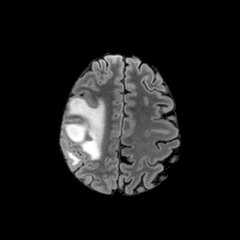
FLAIR magnetic resonance.
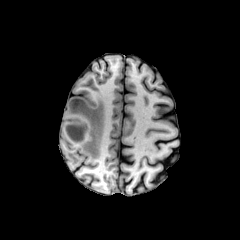
T1-weighted MRI.
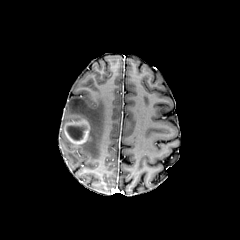
Post-contrast T1-weighted MRI.
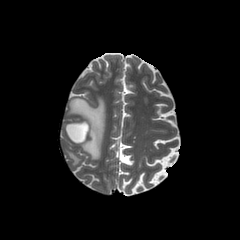
T2-weighted MR of the same slice.
Brain
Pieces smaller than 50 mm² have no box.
The necrotic tumor core appears at l=67, t=125, r=84, b=140. The 2 largest peritumoral edema regions appear at l=61, t=123, r=80, b=166; l=67, t=97, r=105, b=160. The enhancing tumor is at l=64, t=119, r=90, b=144.